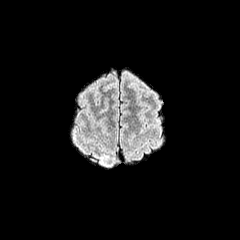
FLAIR MRI.
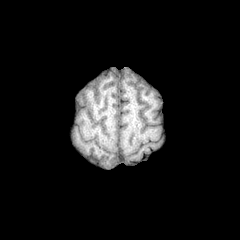
Same slice, T1-weighted MR image.
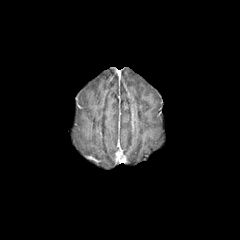
Post-contrast T1-weighted magnetic resonance of the same slice.
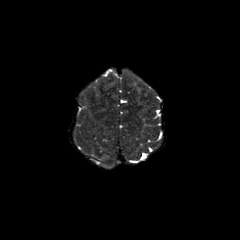
T2-weighted magnetic resonance.
240x240
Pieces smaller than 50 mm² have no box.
peritumoral edema at [89, 82, 99, 92]